FLAIR MR.
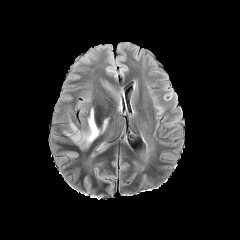
T1-weighted MRI.
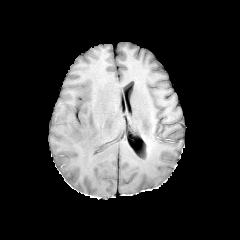
Post-contrast T1-weighted magnetic resonance.
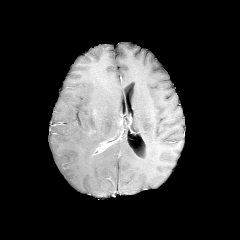
T2-weighted magnetic resonance.
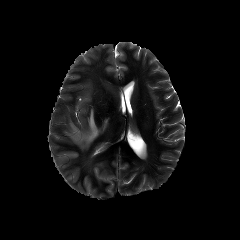
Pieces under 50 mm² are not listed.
Findings:
- peritumoral edema: (65, 108, 108, 148)
- enhancing tumor: (97, 143, 107, 152)